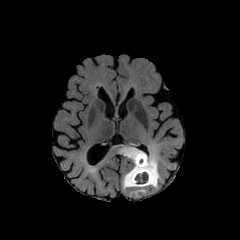
FLAIR magnetic resonance.
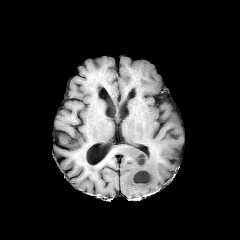
Same slice, T1-weighted magnetic resonance.
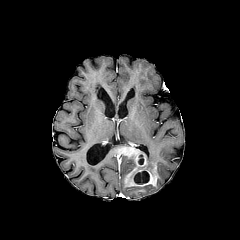
Post-contrast T1-weighted magnetic resonance.
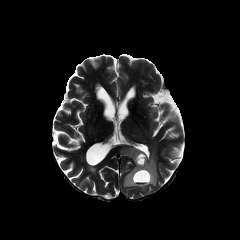
T2-weighted MRI of the same slice.
Axial view
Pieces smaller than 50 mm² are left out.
enhancing tumor: {"x1": 120, "y1": 147, "x2": 157, "y2": 187} | necrotic tumor core: {"x1": 138, "y1": 154, "x2": 143, "y2": 164}, {"x1": 134, "y1": 171, "x2": 149, "y2": 184} | peritumoral edema: {"x1": 122, "y1": 154, "x2": 159, "y2": 192}